Head; 240x240 px; Slice 116 of 155; Axial view
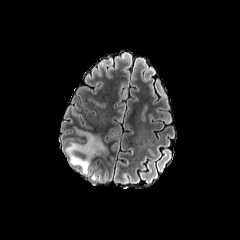
FLAIR magnetic resonance.
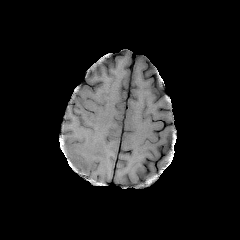
Same slice, T1-weighted MRI.
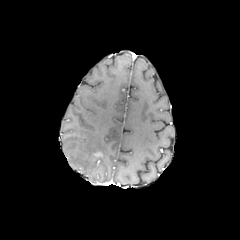
Post-contrast T1-weighted MR.
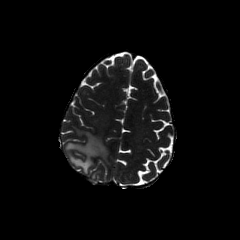
Same slice, T2-weighted MR.
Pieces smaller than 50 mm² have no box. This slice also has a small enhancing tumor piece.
peritumoral edema: x1=66 y1=129 x2=108 y2=174